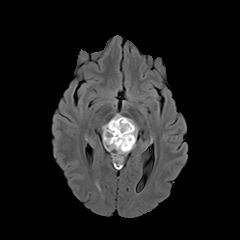
FLAIR MR.
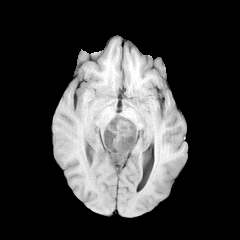
Same slice, T1-weighted magnetic resonance.
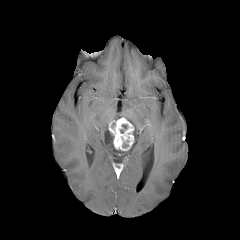
Same slice, post-contrast T1-weighted MRI.
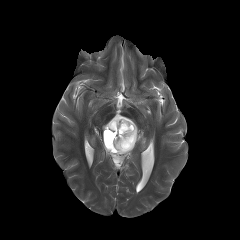
Same slice, T2-weighted MR image.
Axial slice | Brain
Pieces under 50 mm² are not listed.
The largest peritumoral edema region is located at (102,117,137,167). The largest necrotic tumor core region lies within (105,129,114,148). The largest enhancing tumor region lies within (107,117,134,151).